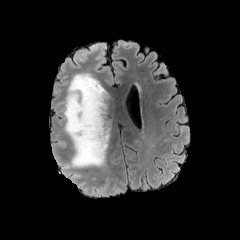
FLAIR magnetic resonance.
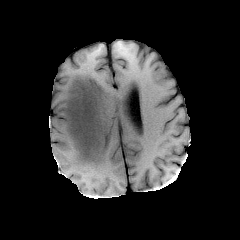
Same slice, T1-weighted MRI.
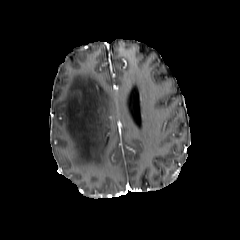
Same slice, post-contrast T1-weighted MR image.
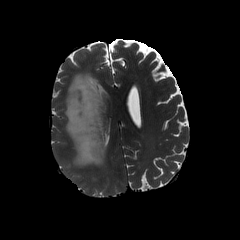
Same slice, T2-weighted magnetic resonance.
Axial slice.
<segmentation>
  <peritumoral_edema>64 73 112 167</peritumoral_edema>
</segmentation>